FLAIR MR.
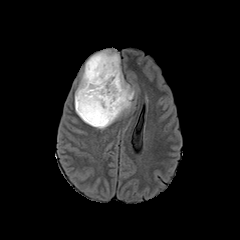
T1-weighted MR.
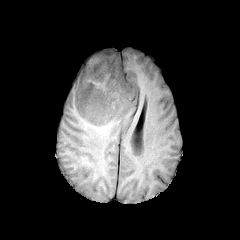
Post-contrast T1-weighted magnetic resonance.
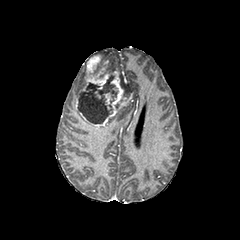
T2-weighted MR.
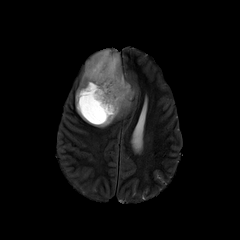
Axial slice; Brain
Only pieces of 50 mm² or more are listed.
<segmentation>
  <peritumoral_edema>x1=75, y1=62, x2=131, y2=128; x1=92, y1=49, x2=134, y2=98</peritumoral_edema>
  <enhancing_tumor>x1=95, y1=92, x2=114, y2=104; x1=94, y1=71, x2=131, y2=126; x1=76, y1=55, x2=109, y2=109</enhancing_tumor>
  <necrotic_tumor_core>x1=78, y1=75, x2=118, y2=123</necrotic_tumor_core>
</segmentation>